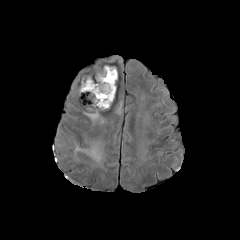
FLAIR MR image.
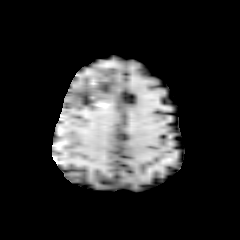
T1-weighted MR image.
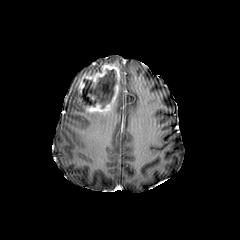
Post-contrast T1-weighted MRI of the same slice.
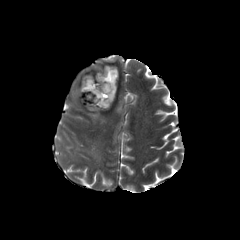
T2-weighted MR image.
Head, 240x240 px
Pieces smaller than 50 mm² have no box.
<segmentation>
  <necrotic_tumor_core>82:69:116:108</necrotic_tumor_core>
  <enhancing_tumor>76:64:120:112</enhancing_tumor>
  <peritumoral_edema>85:112:99:119, 75:144:101:161</peritumoral_edema>
</segmentation>